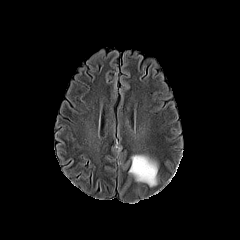
FLAIR MR.
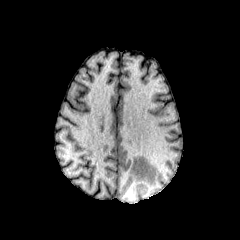
T1-weighted MRI of the same slice.
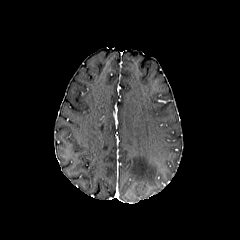
Same slice, post-contrast T1-weighted MR.
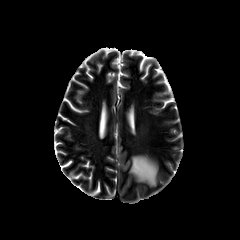
T2-weighted magnetic resonance of the same slice.
Axial view; Brain
peritumoral edema — bbox=[129, 155, 157, 186]